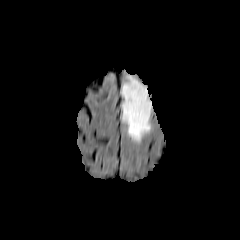
FLAIR MR image.
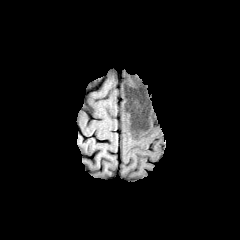
T1-weighted MRI of the same slice.
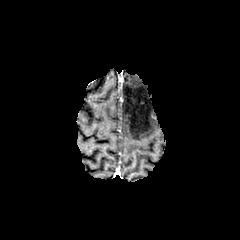
Post-contrast T1-weighted MR of the same slice.
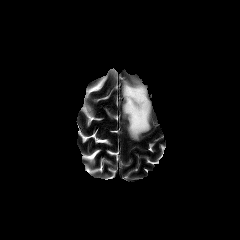
T2-weighted MR image of the same slice.
Axial plane
peritumoral edema: (left=121, top=75, right=151, bottom=141)